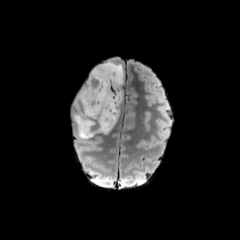
FLAIR MR.
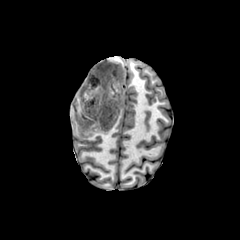
T1-weighted MR.
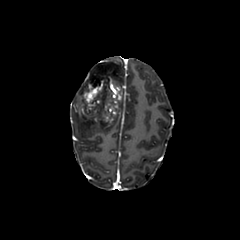
Post-contrast T1-weighted magnetic resonance.
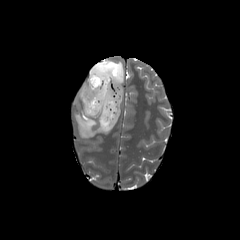
T2-weighted MR of the same slice.
Axial slice
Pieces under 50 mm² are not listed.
peritumoral edema at (89, 62, 123, 86), (74, 78, 120, 138)
enhancing tumor at (77, 74, 122, 123)
necrotic tumor core at (90, 79, 100, 87)